FLAIR MRI.
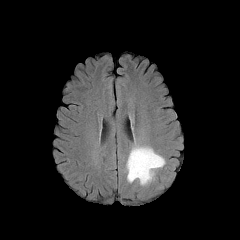
T1-weighted magnetic resonance.
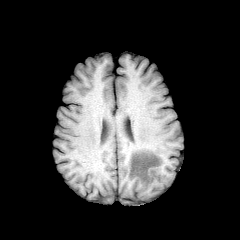
Post-contrast T1-weighted MR.
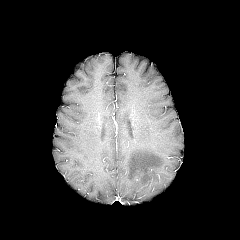
T2-weighted MR image.
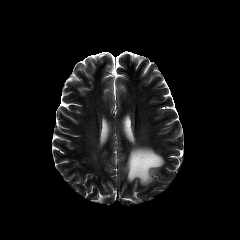
Axial slice | 240x240 px
The peritumoral edema appears at rect(125, 145, 165, 185).